FLAIR MR.
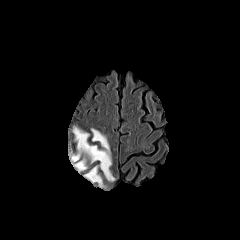
T1-weighted MRI.
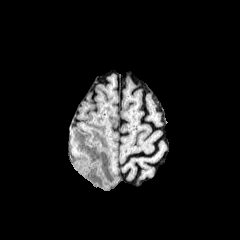
Post-contrast T1-weighted magnetic resonance.
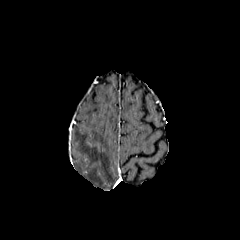
T2-weighted magnetic resonance.
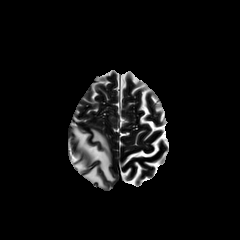
Head; Axial slice; Image size 240x240
The peritumoral edema is bounded by bbox=[72, 127, 114, 187].